FLAIR MR.
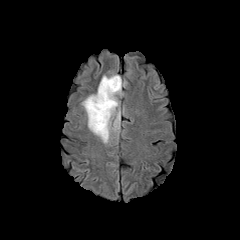
T1-weighted magnetic resonance.
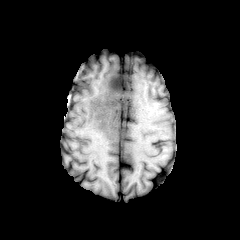
Post-contrast T1-weighted MR image.
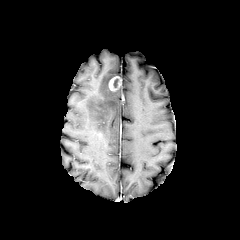
T2-weighted MRI.
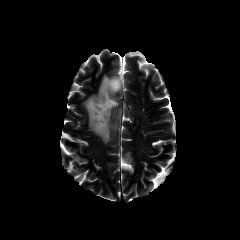
Head, Axial view
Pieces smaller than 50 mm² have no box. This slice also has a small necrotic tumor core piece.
peritumoral edema = bbox=[82, 74, 126, 143]
enhancing tumor = bbox=[109, 76, 121, 92]